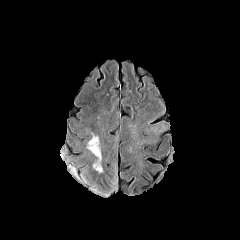
FLAIR MR.
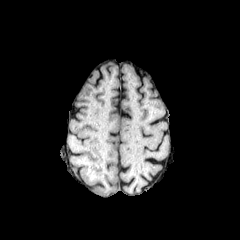
Same slice, T1-weighted MRI.
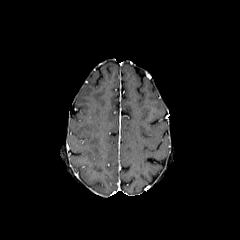
Post-contrast T1-weighted MR of the same slice.
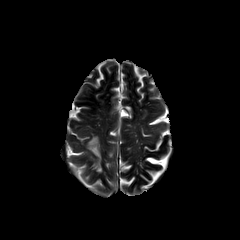
T2-weighted MR.
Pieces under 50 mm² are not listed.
The largest peritumoral edema region appears at (87,135,101,161).